FLAIR MR.
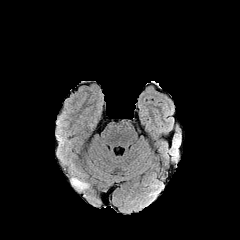
T1-weighted MR.
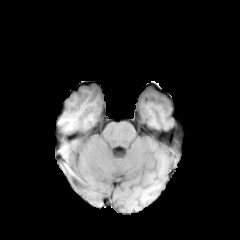
Post-contrast T1-weighted MR image.
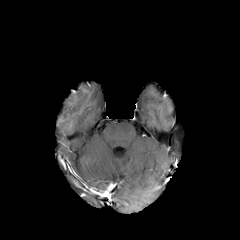
T2-weighted MRI.
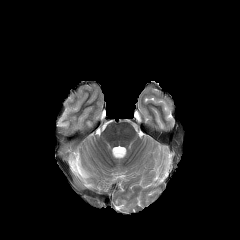
Axial slice | Head
• peritumoral edema: box(73, 178, 87, 187); box(72, 164, 86, 176)